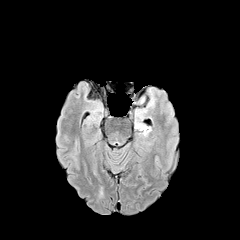
FLAIR MR image.
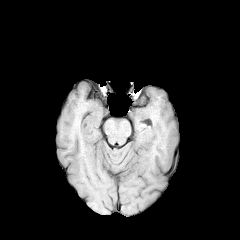
T1-weighted MR image.
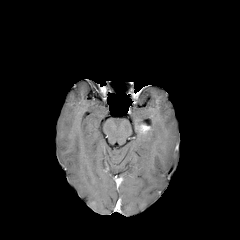
Same slice, post-contrast T1-weighted MR image.
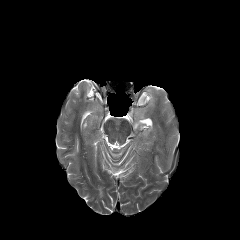
T2-weighted magnetic resonance.
Brain
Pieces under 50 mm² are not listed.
<segmentation>
  <peritumoral_edema>left=139, top=127, right=151, bottom=139</peritumoral_edema>
  <enhancing_tumor>left=140, top=125, right=149, bottom=133</enhancing_tumor>
</segmentation>